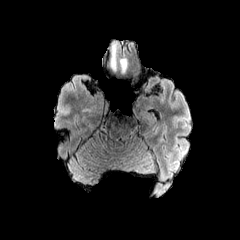
FLAIR MR image.
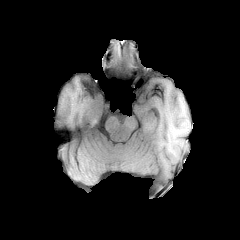
Same slice, T1-weighted magnetic resonance.
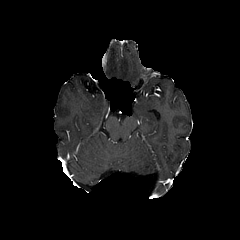
Post-contrast T1-weighted magnetic resonance.
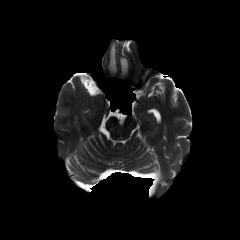
T2-weighted MRI.
Axial plane | Head | 240x240
2 peritumoral edema regions are bounded by bbox(110, 44, 116, 69); bbox(120, 58, 127, 71).